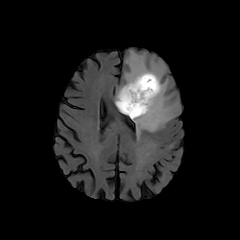
FLAIR MRI.
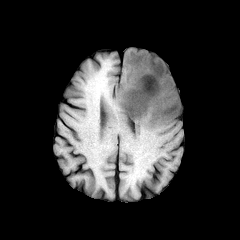
T1-weighted magnetic resonance of the same slice.
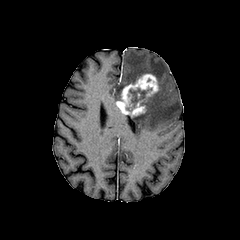
Same slice, post-contrast T1-weighted MRI.
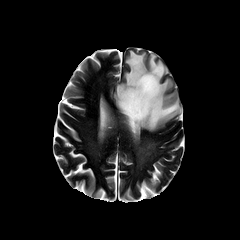
T2-weighted MR image.
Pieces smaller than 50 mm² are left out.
peritumoral_edema:
  - (115,50,180,136)
enhancing_tumor:
  - (116,74,159,117)
necrotic_tumor_core:
  - (129,88,146,109)